Axial plane; Slice 35 of 155
FLAIR magnetic resonance.
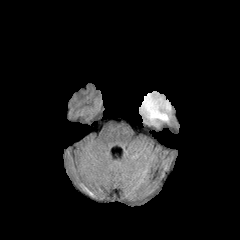
T1-weighted MR.
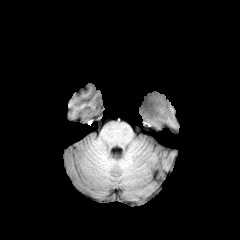
Post-contrast T1-weighted MR image.
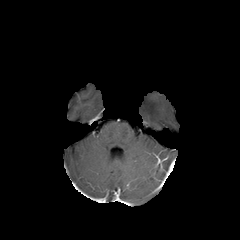
T2-weighted MR.
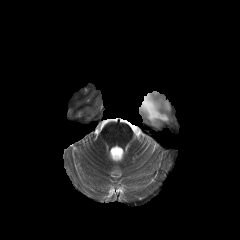
enhancing_tumor:
  - {"x1": 142, "y1": 98, "x2": 157, "y2": 116}
necrotic_tumor_core:
  - {"x1": 144, "y1": 100, "x2": 155, "y2": 115}
peritumoral_edema:
  - {"x1": 139, "y1": 91, "x2": 171, "y2": 126}